Axial slice, Head
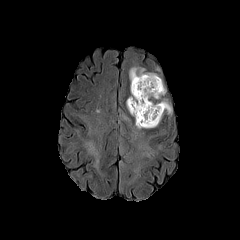
FLAIR MR.
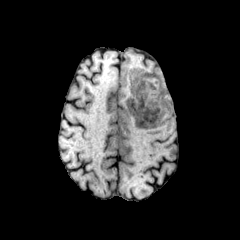
T1-weighted MR.
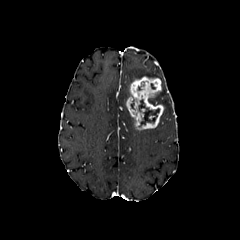
Post-contrast T1-weighted MR of the same slice.
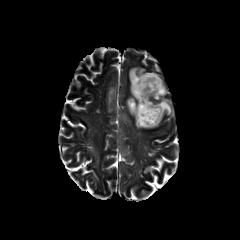
T2-weighted MR image of the same slice.
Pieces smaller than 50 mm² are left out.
The largest enhancing tumor region is bounded by left=126, top=76, right=164, bottom=130. The 2 largest peritumoral edema regions are located at left=148, top=81, right=171, bottom=114; left=129, top=67, right=161, bottom=82. The largest necrotic tumor core region is at left=139, top=99, right=159, bottom=125.